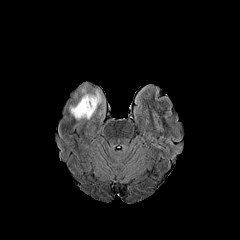
FLAIR MRI.
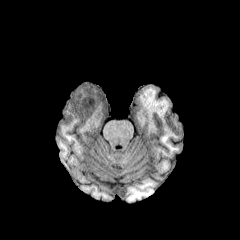
T1-weighted magnetic resonance.
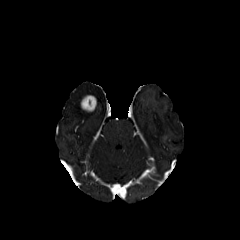
Same slice, post-contrast T1-weighted MR image.
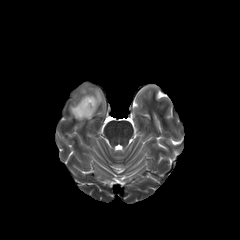
T2-weighted MR.
240x240; Brain; Axial plane
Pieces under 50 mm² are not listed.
enhancing_tumor:
  - box(80, 95, 96, 112)
peritumoral_edema:
  - box(69, 83, 105, 120)